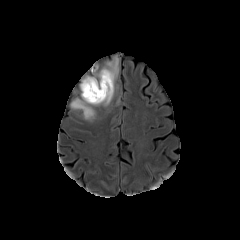
FLAIR MR image.
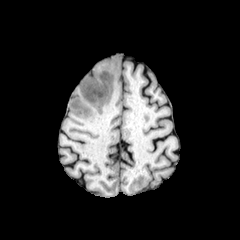
T1-weighted MRI.
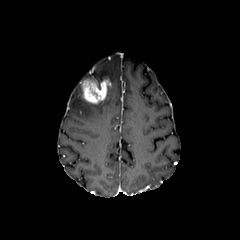
Post-contrast T1-weighted MRI.
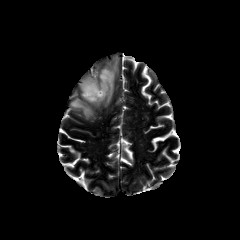
T2-weighted magnetic resonance.
Axial slice | Image size 240x240
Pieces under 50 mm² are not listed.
<segmentation>
  <enhancing_tumor>[x1=82, y1=79, x2=111, y2=103]</enhancing_tumor>
  <peritumoral_edema>[x1=70, y1=56, x2=119, y2=120]</peritumoral_edema>
</segmentation>